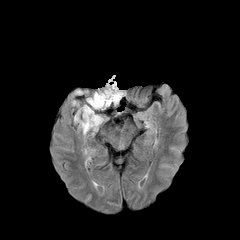
FLAIR magnetic resonance.
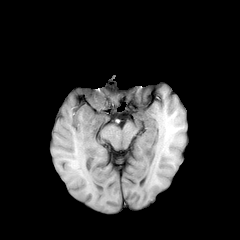
T1-weighted MR.
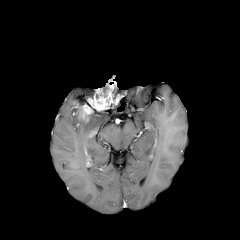
Post-contrast T1-weighted MRI of the same slice.
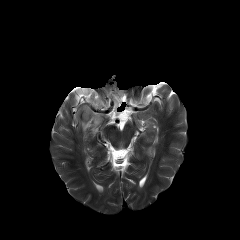
T2-weighted MR of the same slice.
Image size 240x240
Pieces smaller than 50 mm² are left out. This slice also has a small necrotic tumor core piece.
The enhancing tumor lies within {"x1": 73, "y1": 77, "x2": 123, "y2": 121}. The largest peritumoral edema region is bounded by {"x1": 80, "y1": 112, "x2": 103, "y2": 134}.